Axial view; Slice 95/155; Image size 240x240; Image width 240 mm, 1.00 mm slice spacing
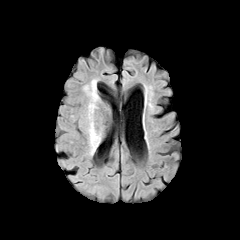
FLAIR MRI.
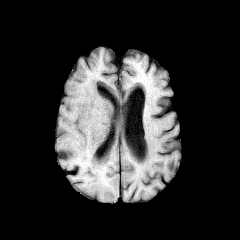
Same slice, T1-weighted MR image.
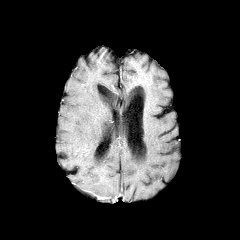
Same slice, post-contrast T1-weighted MRI.
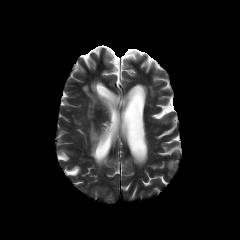
T2-weighted MR image.
peritumoral edema: [x1=84, y1=85, x2=101, y2=154]